Brain. Axial view.
FLAIR MR image.
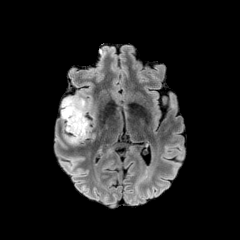
T1-weighted MR.
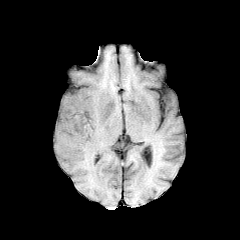
Post-contrast T1-weighted MR.
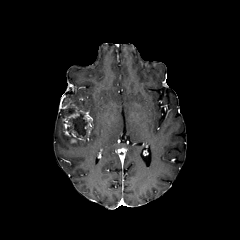
T2-weighted magnetic resonance.
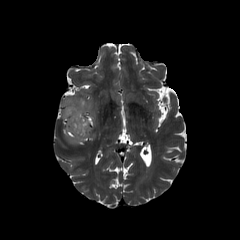
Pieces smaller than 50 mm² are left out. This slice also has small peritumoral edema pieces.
The enhancing tumor is bounded by (61, 97, 92, 143). 2 necrotic tumor core regions appear at (65, 108, 74, 115), (67, 113, 87, 137).